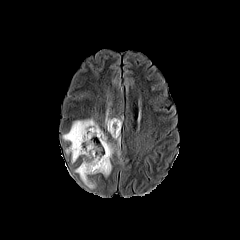
FLAIR MR.
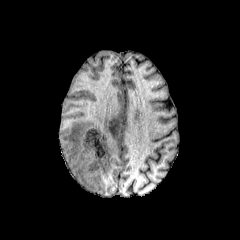
T1-weighted magnetic resonance.
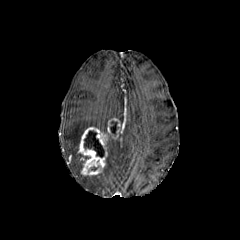
Post-contrast T1-weighted magnetic resonance.
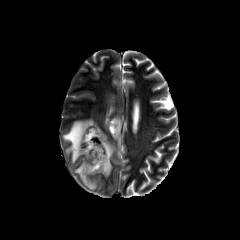
T2-weighted MRI of the same slice.
240x240 px; Axial plane
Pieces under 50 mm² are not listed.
necrotic tumor core = region(84, 131, 104, 157); region(110, 121, 117, 134)
peritumoral edema = region(102, 135, 120, 176); region(74, 163, 96, 189); region(63, 118, 101, 163)
enhancing tumor = region(107, 118, 122, 139); region(77, 127, 108, 175)